FLAIR magnetic resonance.
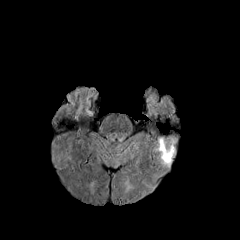
T1-weighted MRI.
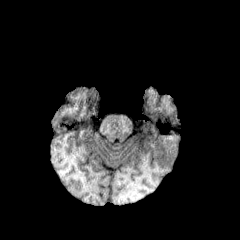
Post-contrast T1-weighted MR.
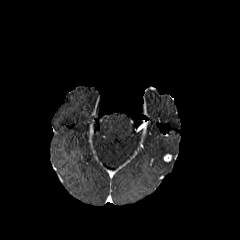
T2-weighted MRI.
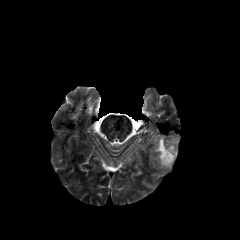
Brain
Segmented structures:
- enhancing tumor: [163, 154, 171, 162]
- peritumoral edema: [155, 138, 175, 167]